Axial view. 240x240. Brain. Image width 240 mm, 1.00 mm slice spacing.
FLAIR MR.
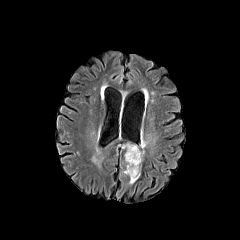
T1-weighted MR image.
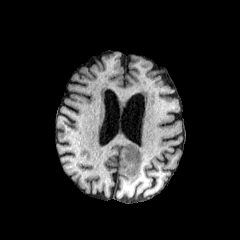
Post-contrast T1-weighted magnetic resonance.
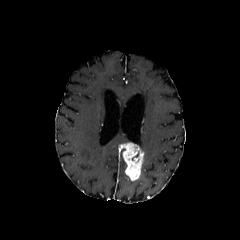
T2-weighted MR.
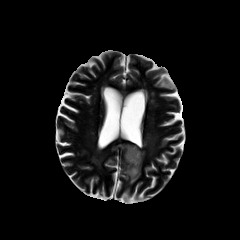
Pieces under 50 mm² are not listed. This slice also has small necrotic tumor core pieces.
enhancing tumor: <box>120,143,144,180</box> | peritumoral edema: <box>140,137,151,152</box>